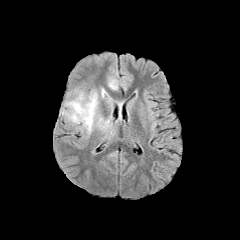
FLAIR MR.
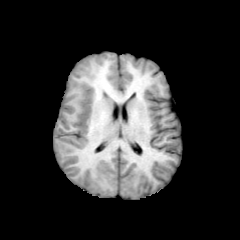
Same slice, T1-weighted MRI.
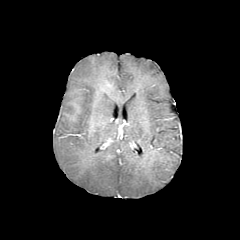
Post-contrast T1-weighted magnetic resonance.
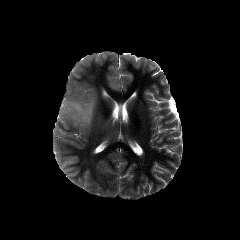
T2-weighted MRI.
Head
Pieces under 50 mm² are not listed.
{"peritumoral_edema": ["[62,93,97,133]", "[109,80,116,89]"]}